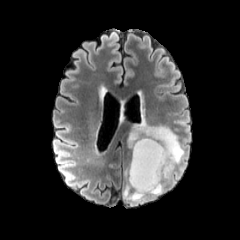
FLAIR MR.
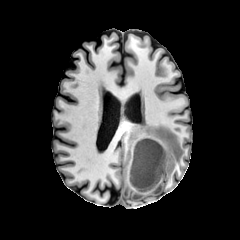
T1-weighted MRI.
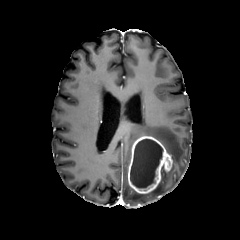
Same slice, post-contrast T1-weighted MR image.
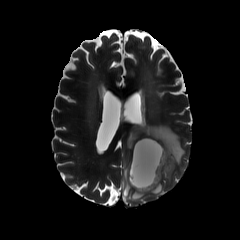
Same slice, T2-weighted magnetic resonance.
240x240 px | Axial slice
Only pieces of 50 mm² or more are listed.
* necrotic tumor core: (130,139,162,187)
* enhancing tumor: (128,136,172,194)
* peritumoral edema: (123,119,184,204)